Slice 71 of 155. Head. Axial plane.
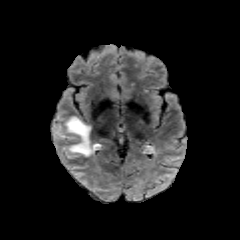
FLAIR magnetic resonance.
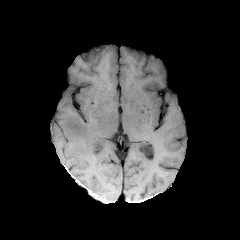
T1-weighted magnetic resonance.
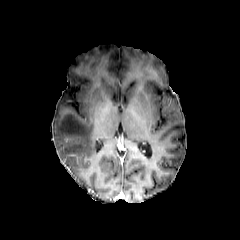
Same slice, post-contrast T1-weighted MR.
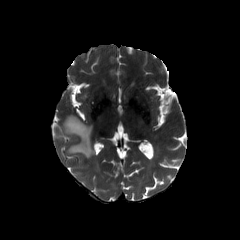
T2-weighted magnetic resonance.
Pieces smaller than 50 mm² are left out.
The 2 largest peritumoral edema regions are located at {"x1": 55, "y1": 130, "x2": 64, "y2": 138}, {"x1": 61, "y1": 117, "x2": 95, "y2": 158}.